FLAIR MRI.
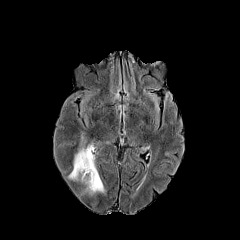
T1-weighted magnetic resonance.
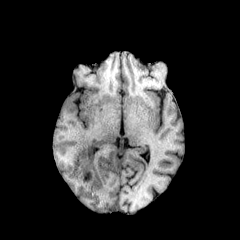
Post-contrast T1-weighted MRI.
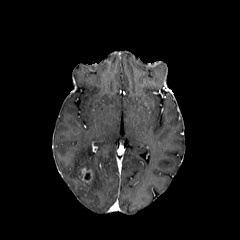
T2-weighted MRI.
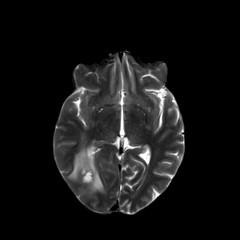
Brain.
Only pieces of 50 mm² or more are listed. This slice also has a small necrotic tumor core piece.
The enhancing tumor lies within 81, 167, 92, 182. The peritumoral edema is at 68, 136, 105, 194.